Slice 119/155 | Image size 240x240
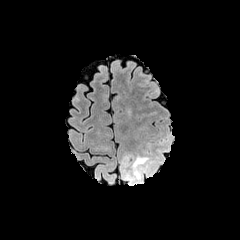
FLAIR magnetic resonance.
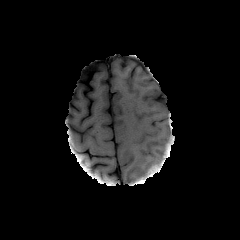
Same slice, T1-weighted MR.
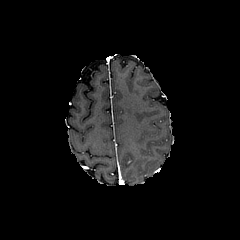
Same slice, post-contrast T1-weighted MRI.
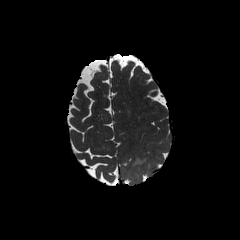
T2-weighted MRI.
peritumoral edema: <box>122,153,131,162</box>, <box>122,156,152,183</box>